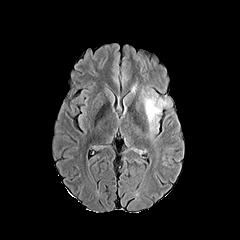
FLAIR MRI.
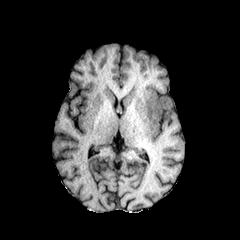
T1-weighted MR image.
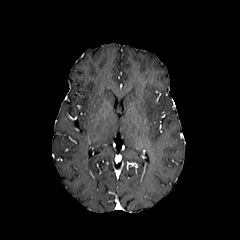
Post-contrast T1-weighted MR image.
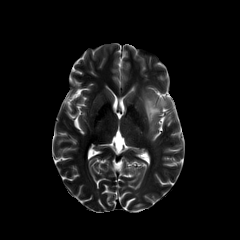
T2-weighted magnetic resonance.
Head. 240x240 px.
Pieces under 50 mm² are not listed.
peritumoral edema = l=144, t=96, r=167, b=129